FLAIR MR image.
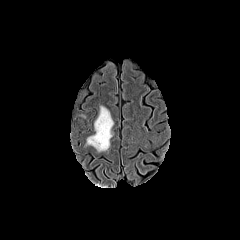
T1-weighted MRI.
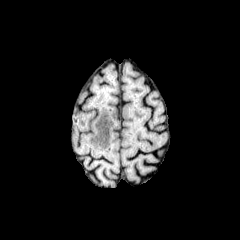
Post-contrast T1-weighted MR image.
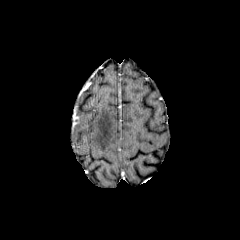
T2-weighted magnetic resonance.
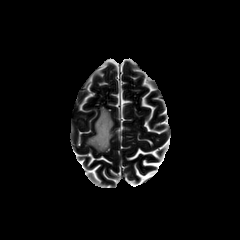
Axial plane.
• peritumoral edema: 87,106,113,151